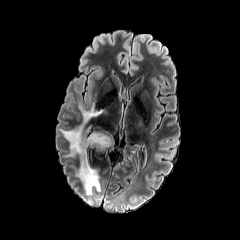
FLAIR MR image.
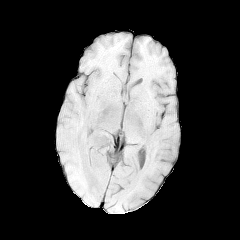
T1-weighted magnetic resonance.
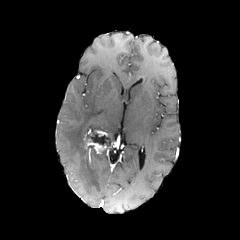
Post-contrast T1-weighted magnetic resonance of the same slice.
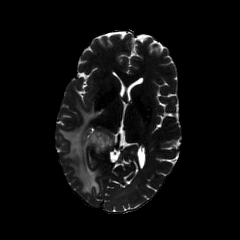
T2-weighted MRI.
Axial plane. Head.
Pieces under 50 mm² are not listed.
{
  "enhancing_tumor": [
    "bbox(84, 130, 114, 153)"
  ],
  "necrotic_tumor_core": [
    "bbox(87, 132, 110, 144)"
  ],
  "peritumoral_edema": [
    "bbox(60, 104, 103, 194)"
  ]
}